Brain, Slice 130 of 155, 240x240
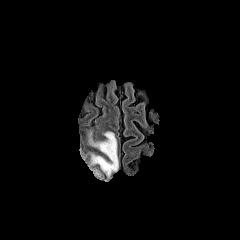
FLAIR magnetic resonance.
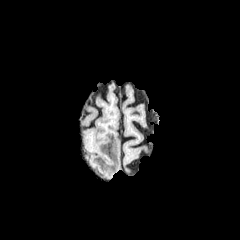
Same slice, T1-weighted MRI.
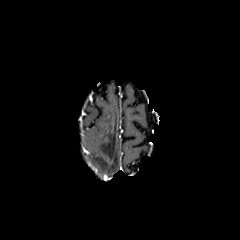
Post-contrast T1-weighted MRI of the same slice.
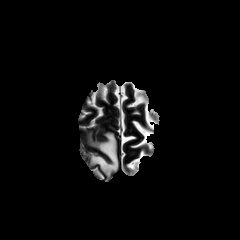
T2-weighted MR image.
peritumoral_edema:
  - [x1=90, y1=132, x2=118, y2=176]